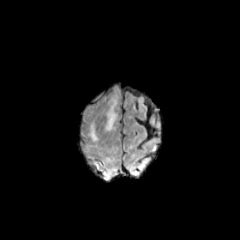
FLAIR MRI.
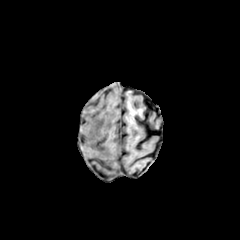
Same slice, T1-weighted MRI.
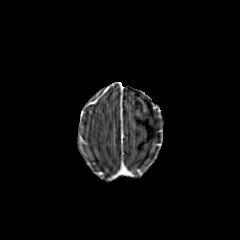
Post-contrast T1-weighted magnetic resonance.
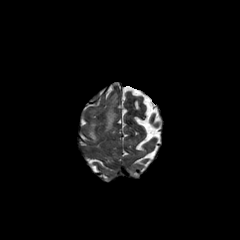
T2-weighted MR image of the same slice.
Head; Axial plane; 240x240 px
peritumoral edema: (left=89, top=124, right=97, bottom=141), (left=105, top=99, right=116, bottom=130)